FLAIR MR.
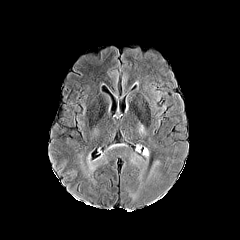
T1-weighted MR image.
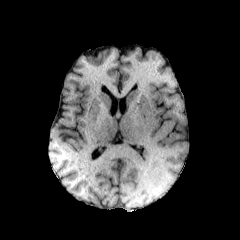
Post-contrast T1-weighted MR image.
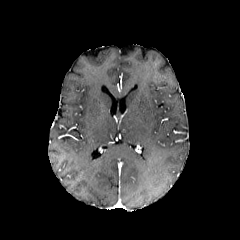
T2-weighted MR image.
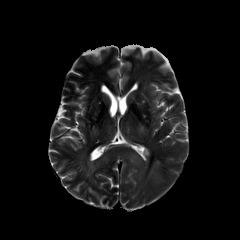
Image size 240x240; Head; Axial plane
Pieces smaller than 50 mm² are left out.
peritumoral_edema:
  - <box>143,147,149,157</box>